FLAIR magnetic resonance.
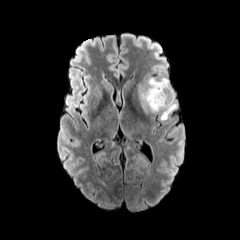
T1-weighted MR.
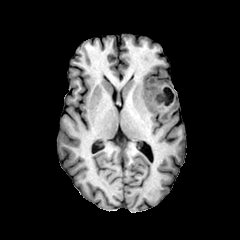
Post-contrast T1-weighted MR.
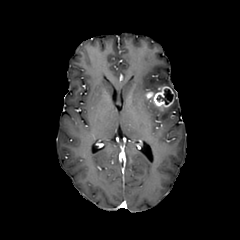
T2-weighted MRI.
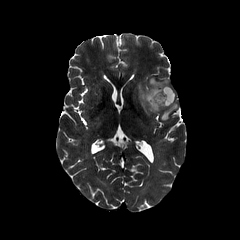
Head | Axial view
peritumoral edema = [137,77,171,113], [161,99,177,120]
enhancing tumor = [145,86,174,108]
necrotic tumor core = [156,88,173,104]